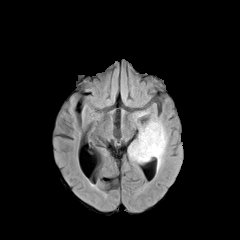
FLAIR MR image.
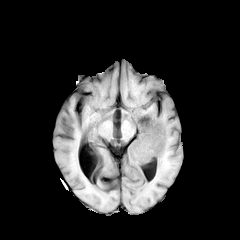
Same slice, T1-weighted magnetic resonance.
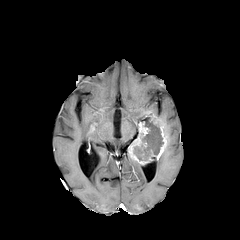
Post-contrast T1-weighted MRI.
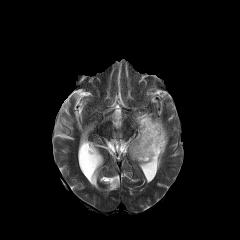
T2-weighted MR.
Brain | Axial view
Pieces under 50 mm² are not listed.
peritumoral_edema:
  - x1=132 y1=110 x2=151 y2=138
  - x1=157 y1=147 x2=166 y2=163
enhancing_tumor:
  - x1=151 y1=114 x2=168 y2=159
  - x1=128 y1=124 x2=149 y2=163
necrotic_tumor_core:
  - x1=134 y1=121 x2=163 y2=160